FLAIR MR.
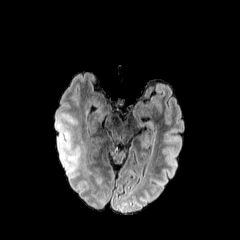
T1-weighted magnetic resonance.
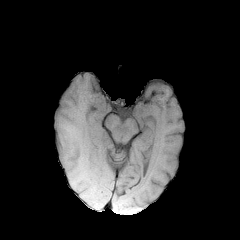
Post-contrast T1-weighted MRI.
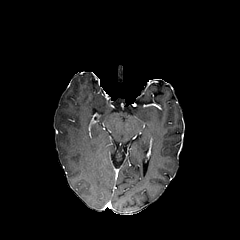
T2-weighted magnetic resonance.
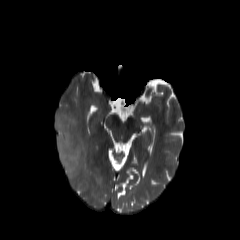
Head. 240x240 px.
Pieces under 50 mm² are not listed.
The largest peritumoral edema region lies within box(56, 114, 83, 178).